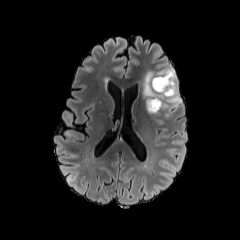
FLAIR MR.
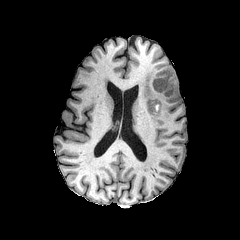
T1-weighted MR image.
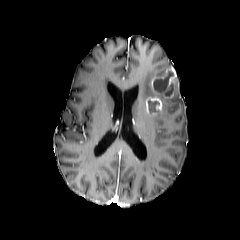
Same slice, post-contrast T1-weighted MR.
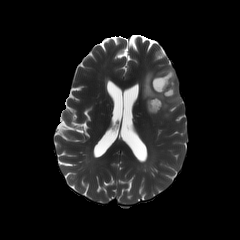
Same slice, T2-weighted MR image.
Head.
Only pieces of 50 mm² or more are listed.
{"enhancing_tumor": ["(left=146, top=96, right=162, bottom=115)", "(left=151, top=67, right=178, bottom=98)"], "necrotic_tumor_core": ["(left=153, top=71, right=173, bottom=92)", "(left=148, top=101, right=159, bottom=112)"], "peritumoral_edema": ["(left=142, top=64, right=182, bottom=116)"]}